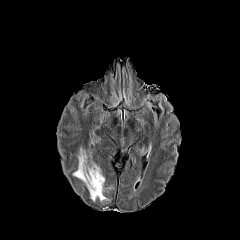
FLAIR MR.
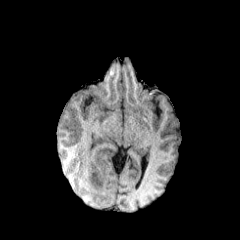
Same slice, T1-weighted MRI.
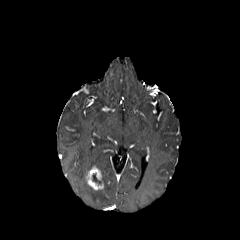
Same slice, post-contrast T1-weighted MR.
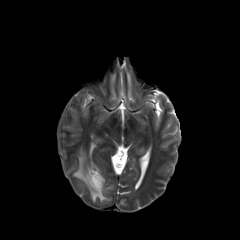
T2-weighted magnetic resonance of the same slice.
Head | 240x240 px
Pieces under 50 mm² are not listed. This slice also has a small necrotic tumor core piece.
{
  "peritumoral_edema": [
    "x1=73 y1=148 x2=108 y2=201"
  ],
  "enhancing_tumor": [
    "x1=85 y1=165 x2=103 y2=190"
  ]
}